Head | Image covers 240 mm x 240 mm
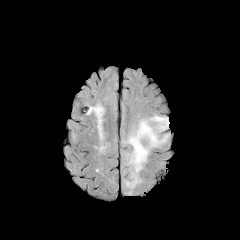
FLAIR MR image.
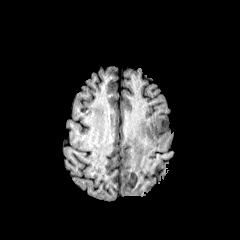
Same slice, T1-weighted MRI.
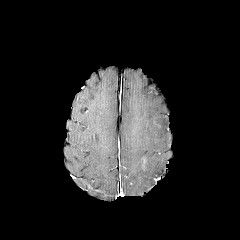
Post-contrast T1-weighted MR of the same slice.
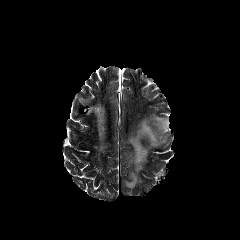
T2-weighted MRI.
Segmented structures:
- peritumoral edema: [125,115,169,188]